FLAIR MRI.
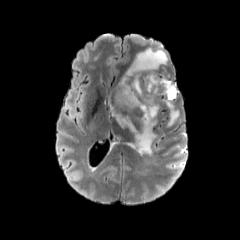
T1-weighted MRI.
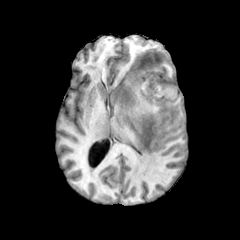
Post-contrast T1-weighted magnetic resonance.
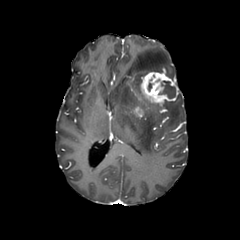
T2-weighted MRI.
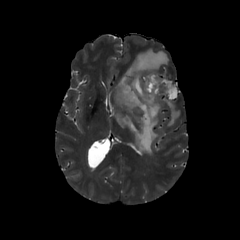
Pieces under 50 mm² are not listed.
enhancing tumor: bounding box x1=140 y1=72 x2=179 y2=105, x1=135 y1=107 x2=143 y2=116
peritumoral edema: bounding box x1=164 y1=101 x2=179 y2=126, x1=111 y1=45 x2=168 y2=155
necrotic tumor core: bounding box x1=159 y1=81 x2=175 y2=98